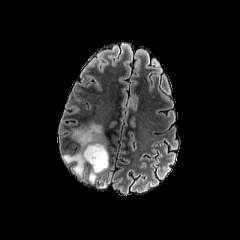
FLAIR MR image.
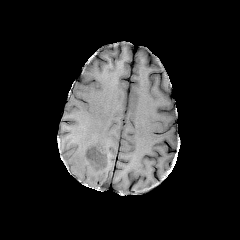
T1-weighted MR.
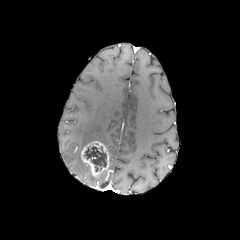
Post-contrast T1-weighted magnetic resonance.
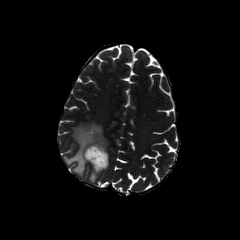
T2-weighted magnetic resonance.
240x240 px. Brain.
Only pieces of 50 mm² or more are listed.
enhancing_tumor:
  - {"x1": 81, "y1": 141, "x2": 109, "y2": 177}
peritumoral_edema:
  - {"x1": 63, "y1": 123, "x2": 108, "y2": 176}
necrotic_tumor_core:
  - {"x1": 84, "y1": 146, "x2": 106, "y2": 171}